FLAIR MR.
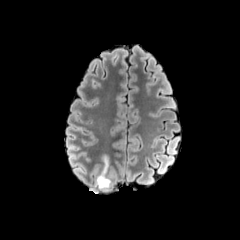
T1-weighted magnetic resonance.
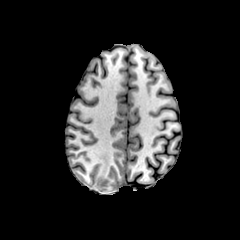
Post-contrast T1-weighted MRI.
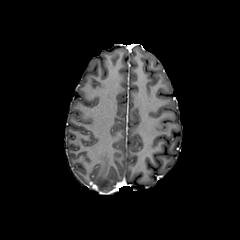
T2-weighted magnetic resonance.
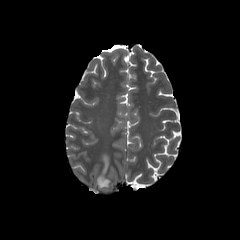
Axial plane
Annotated regions:
- peritumoral edema: bbox=[94, 154, 113, 190]